FLAIR MR.
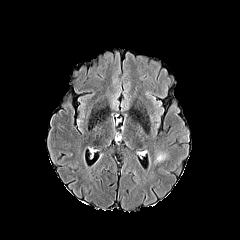
T1-weighted MRI.
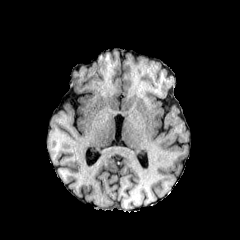
Post-contrast T1-weighted MR image.
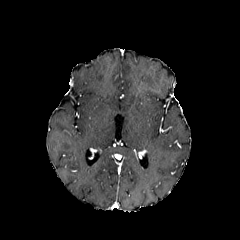
T2-weighted MR image.
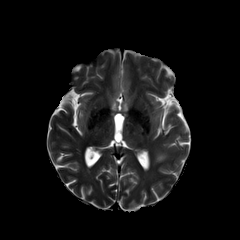
Axial plane | Head
The peritumoral edema is at region(155, 153, 166, 161).